Image width 240 mm, 1.00 mm slice spacing, Axial slice, Head
FLAIR MR image.
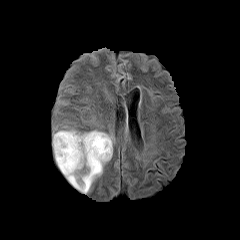
T1-weighted MRI.
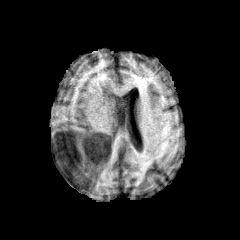
Post-contrast T1-weighted MR.
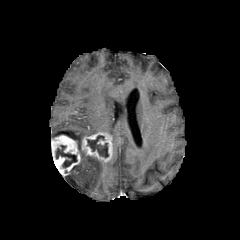
T2-weighted MRI.
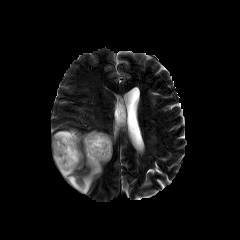
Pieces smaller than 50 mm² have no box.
The largest peritumoral edema region is bounded by (53, 129, 103, 193). 2 enhancing tumor regions appear at (81, 132, 112, 164), (51, 135, 81, 175). 2 necrotic tumor core regions are located at (56, 145, 77, 167), (87, 135, 108, 157).